FLAIR MRI.
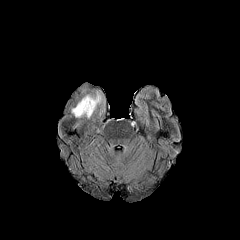
T1-weighted MR.
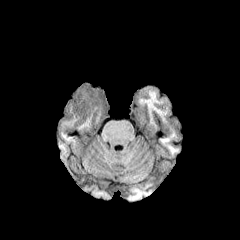
Post-contrast T1-weighted MR image.
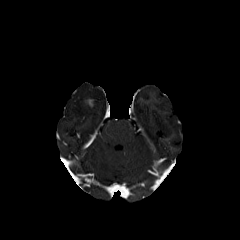
T2-weighted magnetic resonance.
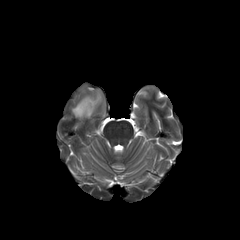
Axial plane | 240x240 px
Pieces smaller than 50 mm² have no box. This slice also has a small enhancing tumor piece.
Annotated regions:
* peritumoral edema: box(71, 90, 104, 119)